FLAIR MR.
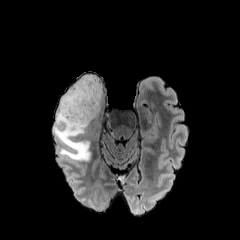
T1-weighted MRI.
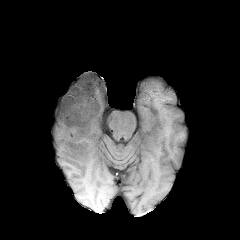
Post-contrast T1-weighted MRI.
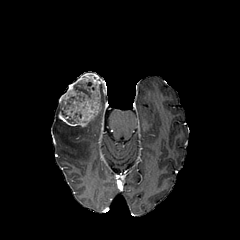
T2-weighted magnetic resonance.
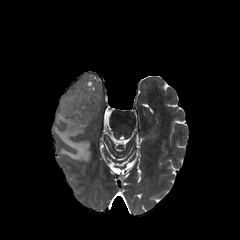
240x240 px.
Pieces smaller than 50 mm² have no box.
<segmentation>
  <enhancing_tumor>bbox(58, 73, 101, 127)</enhancing_tumor>
  <peritumoral_edema>bbox(54, 103, 90, 161)</peritumoral_edema>
  <necrotic_tumor_core>bbox(64, 97, 74, 109); bbox(74, 81, 92, 101)</necrotic_tumor_core>
</segmentation>